FLAIR magnetic resonance.
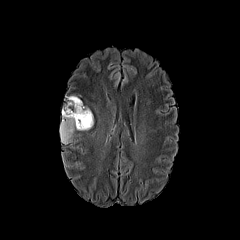
T1-weighted magnetic resonance.
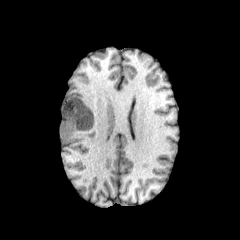
Post-contrast T1-weighted MR image.
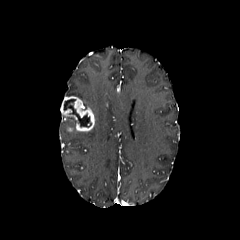
T2-weighted magnetic resonance.
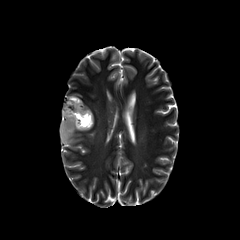
Axial view; Brain
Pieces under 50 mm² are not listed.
{"necrotic_tumor_core": ["[x1=64, y1=99, x2=91, y2=127]"], "enhancing_tumor": ["[x1=62, y1=96, x2=95, y2=132]"], "peritumoral_edema": ["[x1=60, y1=117, x2=76, y2=144]"]}